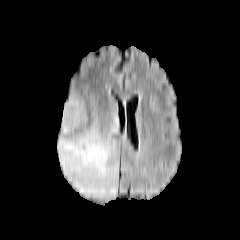
FLAIR MR image.
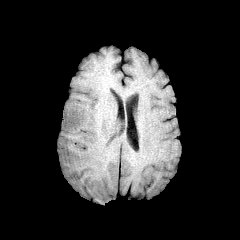
T1-weighted MRI.
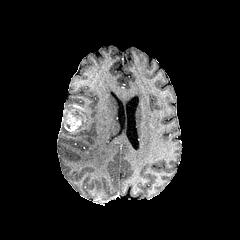
Post-contrast T1-weighted MR.
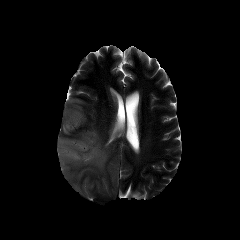
T2-weighted magnetic resonance.
Axial view | Head
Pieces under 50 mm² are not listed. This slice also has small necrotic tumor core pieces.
enhancing tumor: bounding box (x1=62, y1=104, x2=86, y2=131)
peritumoral edema: bounding box (x1=57, y1=115, x2=118, y2=198), (x1=64, y1=97, x2=83, y2=109)